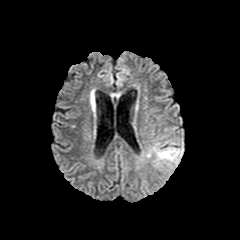
FLAIR MR image.
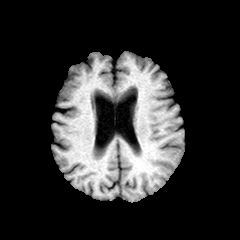
T1-weighted MR of the same slice.
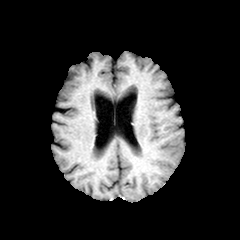
Post-contrast T1-weighted magnetic resonance.
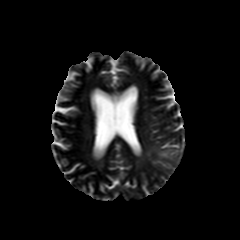
T2-weighted magnetic resonance.
Brain
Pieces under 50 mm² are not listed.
The largest peritumoral edema region is bounded by (x1=147, y1=142, x2=183, y2=167).